FLAIR MR.
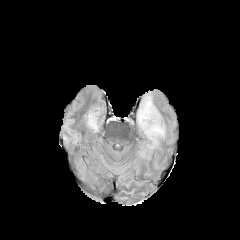
T1-weighted MRI.
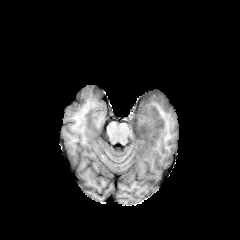
Post-contrast T1-weighted magnetic resonance.
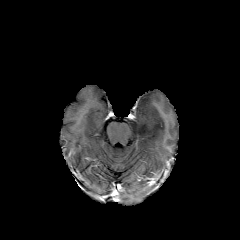
T2-weighted MR.
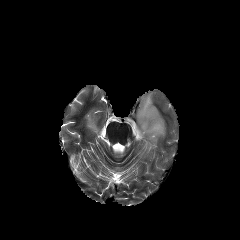
Brain; Axial plane
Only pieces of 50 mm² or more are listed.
The 2 largest peritumoral edema regions are bounded by l=87, t=116, r=97, b=131; l=137, t=95, r=165, b=158.